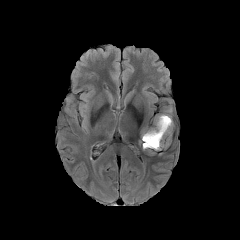
FLAIR magnetic resonance.
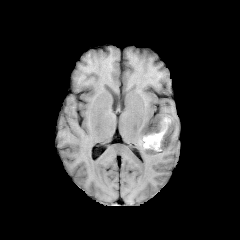
T1-weighted MR of the same slice.
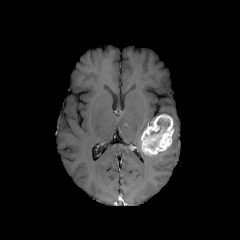
Post-contrast T1-weighted MR image.
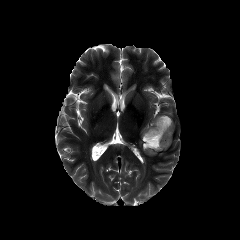
T2-weighted MR of the same slice.
Brain. Axial slice.
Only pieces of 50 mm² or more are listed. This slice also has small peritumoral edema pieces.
<segmentation>
  <necrotic_tumor_core>box=[151, 119, 169, 134]</necrotic_tumor_core>
  <enhancing_tumor>box=[141, 114, 173, 155]</enhancing_tumor>
</segmentation>